FLAIR MR.
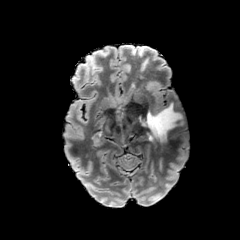
T1-weighted MR image.
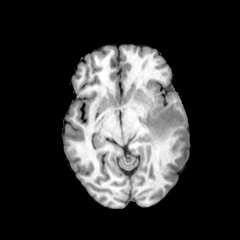
Post-contrast T1-weighted MR image.
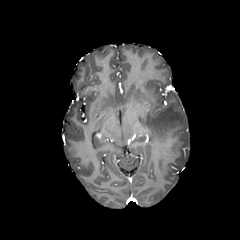
T2-weighted MRI.
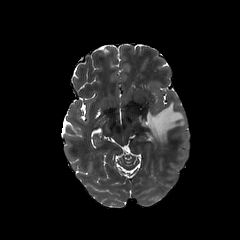
Head; Axial plane
{"peritumoral_edema": ["(137, 103, 183, 141)"]}